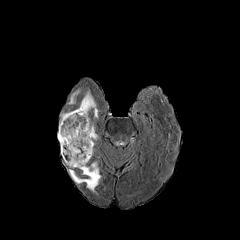
FLAIR MR.
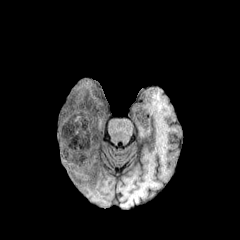
T1-weighted MRI.
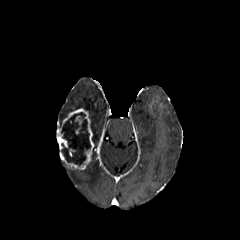
Post-contrast T1-weighted magnetic resonance of the same slice.
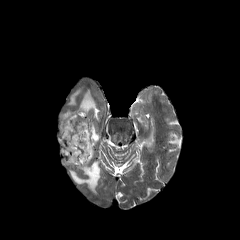
T2-weighted MR image.
Image size 240x240; Head; Axial plane
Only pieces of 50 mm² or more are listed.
Annotated regions:
- enhancing tumor: l=60, t=108, r=94, b=169; l=58, t=126, r=67, b=148
- necrotic tumor core: l=61, t=112, r=90, b=165
- peritumoral edema: l=90, t=124, r=98, b=143; l=78, t=91, r=98, b=118; l=69, t=161, r=100, b=191; l=69, t=90, r=80, b=104